FLAIR MR.
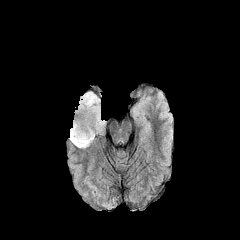
T1-weighted magnetic resonance.
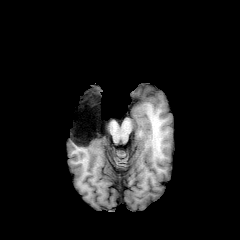
Post-contrast T1-weighted MRI.
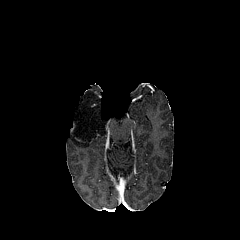
T2-weighted MR.
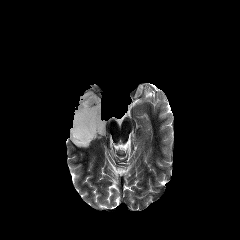
Axial view
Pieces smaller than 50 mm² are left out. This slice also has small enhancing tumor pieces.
peritumoral_edema:
  - bbox(69, 91, 105, 148)